FLAIR MRI.
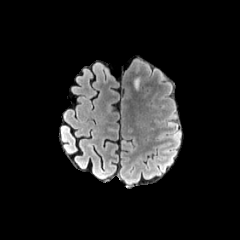
T1-weighted magnetic resonance.
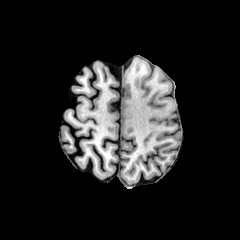
Post-contrast T1-weighted MRI.
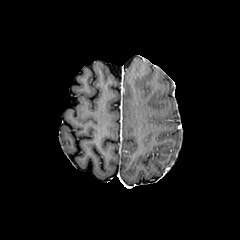
T2-weighted magnetic resonance.
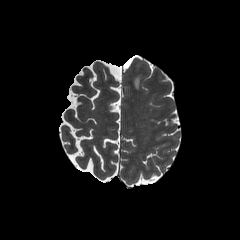
Brain. Axial plane.
Findings:
- peritumoral edema: {"x1": 134, "y1": 77, "x2": 140, "y2": 89}